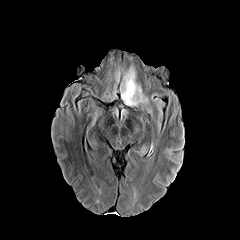
FLAIR magnetic resonance.
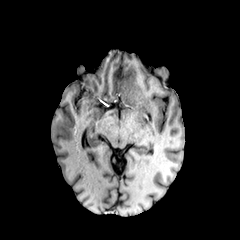
Same slice, T1-weighted MR.
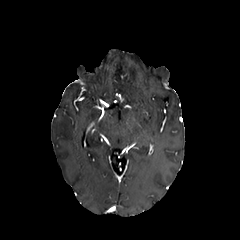
Post-contrast T1-weighted MRI.
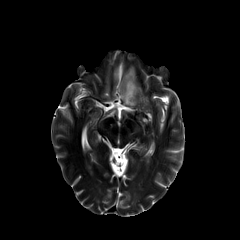
T2-weighted MR image.
240x240 px
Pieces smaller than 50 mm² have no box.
The largest peritumoral edema region is located at 120:66:149:106.